FLAIR MRI.
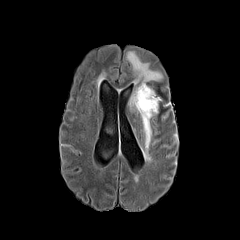
T1-weighted MRI.
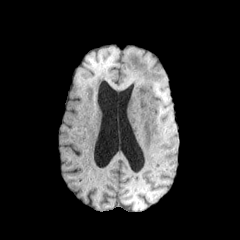
Post-contrast T1-weighted MRI.
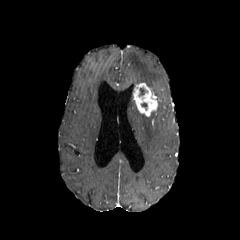
T2-weighted MR image.
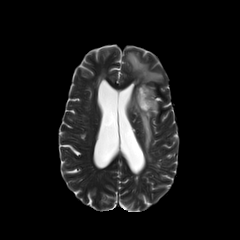
Brain; 240x240 px
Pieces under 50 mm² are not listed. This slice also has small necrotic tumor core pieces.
The enhancing tumor is located at x1=133, y1=83, x2=160, y2=116. The 2 largest peritumoral edema regions are located at x1=128, y1=92, x2=158, y2=161; x1=127, y1=51, x2=162, y2=84.